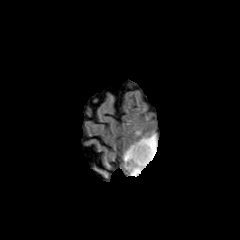
FLAIR MR image.
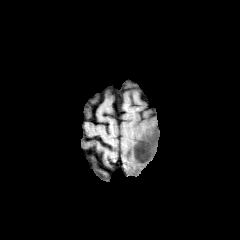
T1-weighted MR.
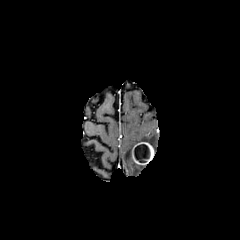
Post-contrast T1-weighted MRI of the same slice.
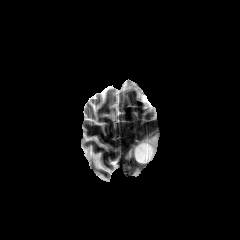
Same slice, T2-weighted magnetic resonance.
240x240 px, Axial plane, Brain
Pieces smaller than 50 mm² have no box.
enhancing tumor at <bbox>131, 142, 155, 165</bbox>
peritumoral edema at <bbox>126, 162, 146, 176</bbox>, <bbox>139, 134, 157, 151</bbox>, <bbox>124, 144, 135, 161</bbox>
necrotic tumor core at <bbox>134, 144, 149, 162</bbox>